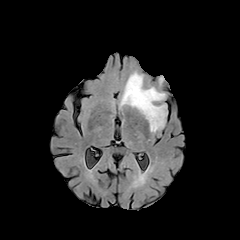
FLAIR MR image.
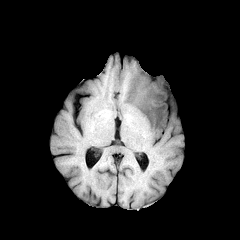
T1-weighted MRI.
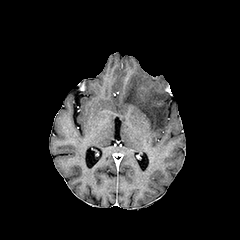
Same slice, post-contrast T1-weighted MR.
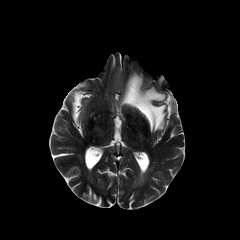
T2-weighted magnetic resonance.
Axial slice | Head
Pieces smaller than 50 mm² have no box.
The largest peritumoral edema region lies within <box>121,72,166,132</box>.